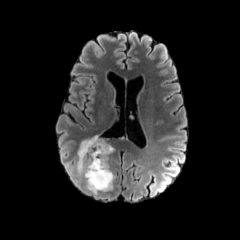
FLAIR magnetic resonance.
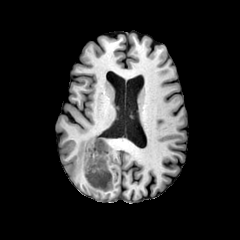
T1-weighted MR of the same slice.
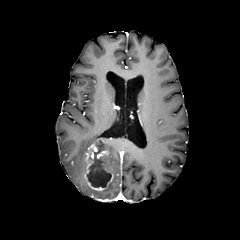
Post-contrast T1-weighted MR image of the same slice.
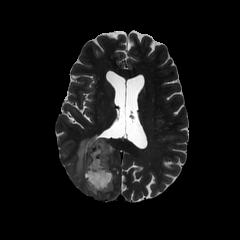
Same slice, T2-weighted magnetic resonance.
Axial plane | Head
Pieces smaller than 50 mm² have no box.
The 2 largest peritumoral edema regions appear at <bbox>77, 135, 98, 173</bbox>, <bbox>87, 181, 112, 195</bbox>. The enhancing tumor lies within <bbox>84, 138, 113, 190</bbox>. The largest necrotic tumor core region is bounded by <bbox>87, 141, 111, 187</bbox>.